FLAIR MRI.
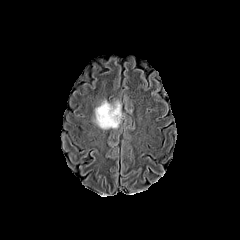
T1-weighted MR image.
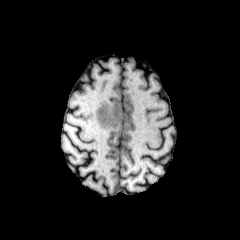
Post-contrast T1-weighted MRI.
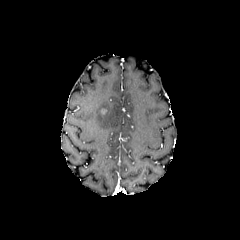
T2-weighted MR image.
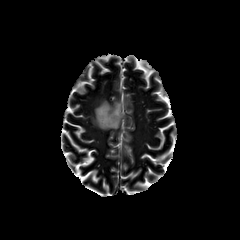
Axial slice | Brain | Image size 240x240
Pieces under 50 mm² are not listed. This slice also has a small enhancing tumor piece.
<segmentation>
  <peritumoral_edema><box>94,100,121,129</box></peritumoral_edema>
</segmentation>